Head | Axial plane
FLAIR MR.
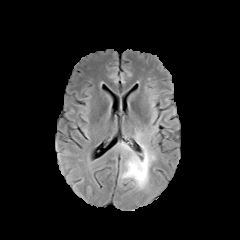
T1-weighted MRI.
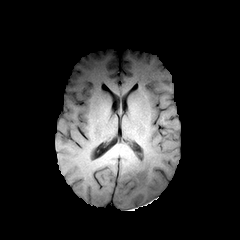
Post-contrast T1-weighted MR image.
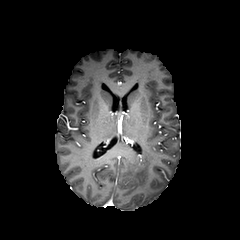
T2-weighted magnetic resonance.
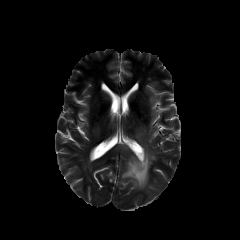
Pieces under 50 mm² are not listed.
<segmentation>
  <peritumoral_edema>121 144 150 189</peritumoral_edema>
</segmentation>